FLAIR MRI.
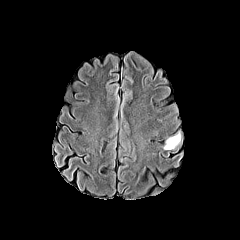
T1-weighted magnetic resonance.
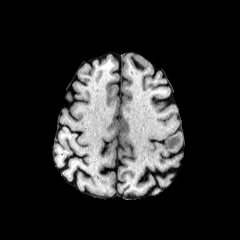
Post-contrast T1-weighted magnetic resonance.
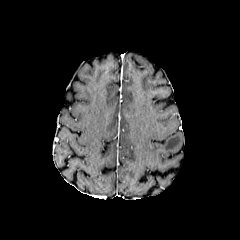
T2-weighted MR image.
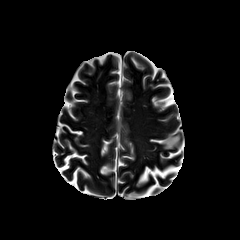
Axial slice | Image size 240x240 | Head
The peritumoral edema is bounded by (left=163, top=133, right=180, bottom=149).